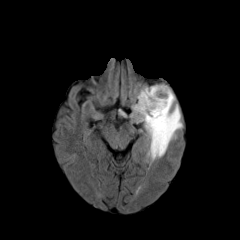
FLAIR MRI.
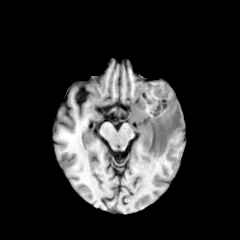
T1-weighted MRI.
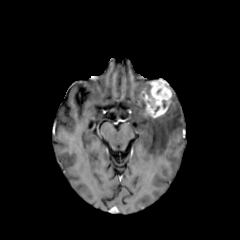
Post-contrast T1-weighted MRI.
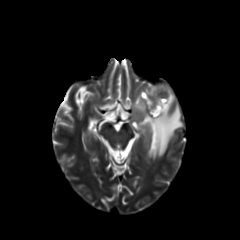
T2-weighted MRI.
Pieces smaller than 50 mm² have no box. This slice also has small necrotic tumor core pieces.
Segmented structures:
* peritumoral edema: box=[144, 84, 151, 94]; box=[130, 89, 182, 158]
* enhancing tumor: box=[140, 79, 172, 118]